FLAIR MRI.
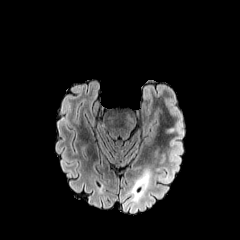
T1-weighted MRI.
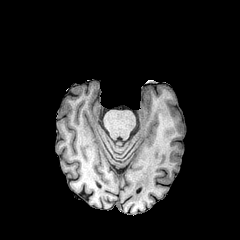
Post-contrast T1-weighted MR image.
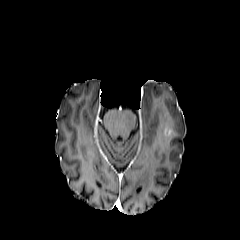
T2-weighted MR.
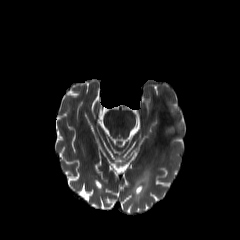
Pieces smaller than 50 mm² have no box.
enhancing tumor at 164,126,170,135
peritumoral edema at 163,117,184,139; 158,105,177,115